FLAIR MR.
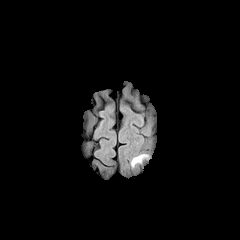
T1-weighted MR.
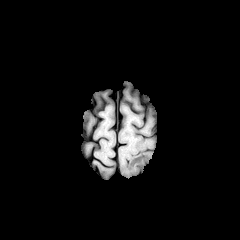
Post-contrast T1-weighted magnetic resonance.
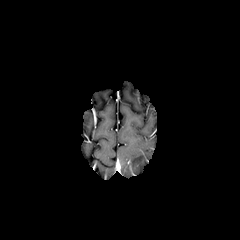
T2-weighted MRI.
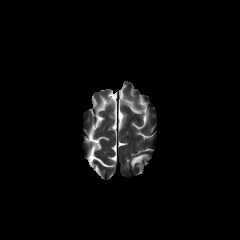
• peritumoral edema: box(131, 154, 148, 167)